Slice index 89, 240x240 px
FLAIR MRI.
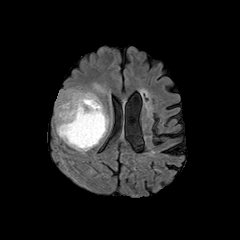
T1-weighted MR image.
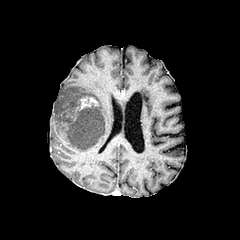
Post-contrast T1-weighted MRI.
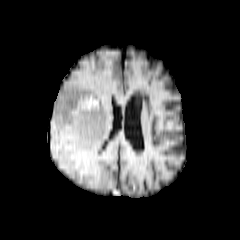
T2-weighted magnetic resonance.
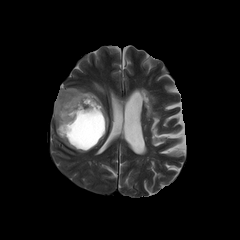
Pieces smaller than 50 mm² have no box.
The necrotic tumor core is at rect(66, 107, 104, 148). The enhancing tumor appears at rect(71, 95, 98, 123). The 2 largest peritumoral edema regions appear at rect(93, 83, 105, 93); rect(54, 88, 109, 153).